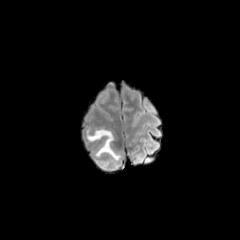
FLAIR magnetic resonance.
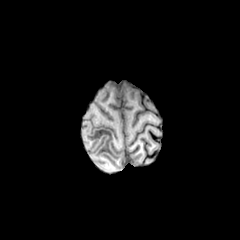
T1-weighted magnetic resonance.
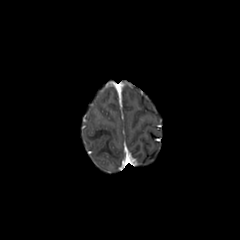
Same slice, post-contrast T1-weighted MR.
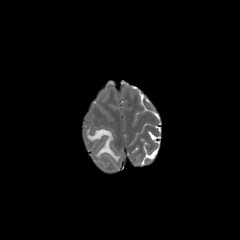
T2-weighted magnetic resonance of the same slice.
Head; Axial view
{"peritumoral_edema": ["86,128,121,168"]}